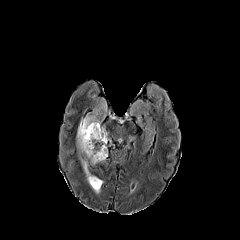
FLAIR magnetic resonance.
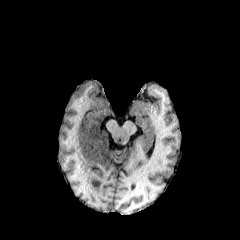
T1-weighted MRI.
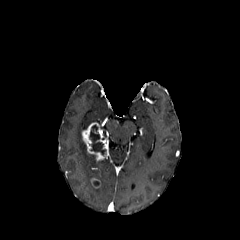
Same slice, post-contrast T1-weighted MR.
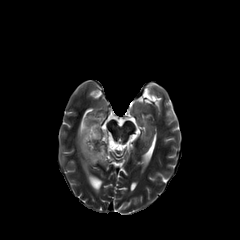
T2-weighted MRI of the same slice.
Head. Axial view.
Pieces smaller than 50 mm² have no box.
{
  "enhancing_tumor": [
    "rect(90, 178, 100, 188)",
    "rect(82, 122, 108, 161)"
  ],
  "peritumoral_edema": [
    "rect(77, 109, 100, 193)"
  ],
  "necrotic_tumor_core": [
    "rect(89, 125, 105, 154)"
  ]
}